FLAIR MR image.
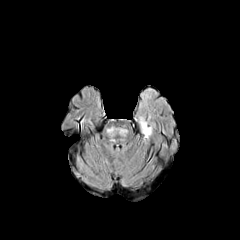
T1-weighted MRI.
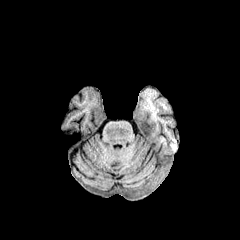
Post-contrast T1-weighted MR.
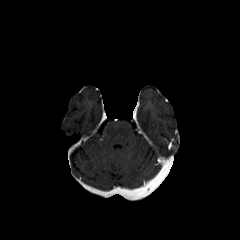
T2-weighted magnetic resonance.
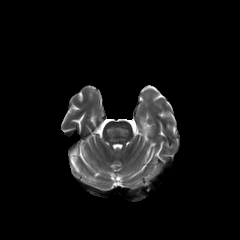
Brain | Axial slice
<segmentation>
  <peritumoral_edema>bbox=[139, 117, 152, 138]</peritumoral_edema>
</segmentation>